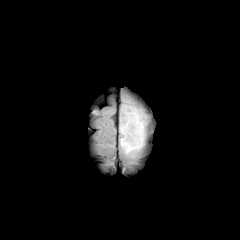
FLAIR MR image.
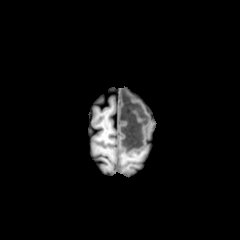
T1-weighted magnetic resonance.
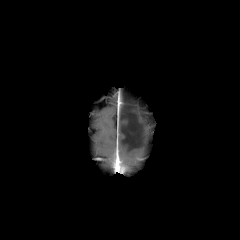
Post-contrast T1-weighted MR.
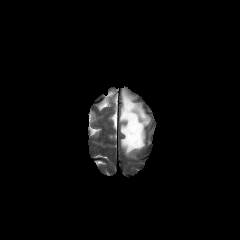
T2-weighted magnetic resonance.
Axial view.
{
  "peritumoral_edema": [
    "bbox=[120, 97, 146, 154]"
  ]
}